FLAIR MR image.
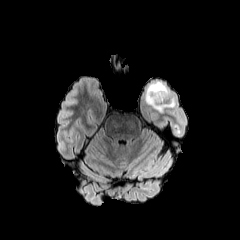
T1-weighted MR.
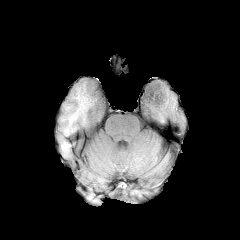
Post-contrast T1-weighted MR image.
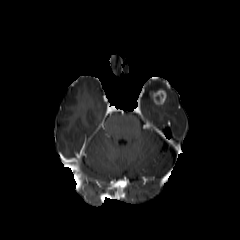
T2-weighted MR image.
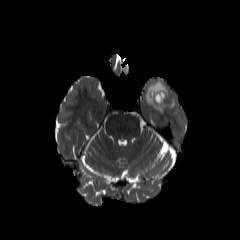
Axial view. Brain.
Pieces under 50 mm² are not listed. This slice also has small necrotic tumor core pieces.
The peritumoral edema lies within (145, 81, 175, 112). The enhancing tumor lies within (152, 89, 166, 105).